Axial view; Brain; Image size 240x240
FLAIR MR.
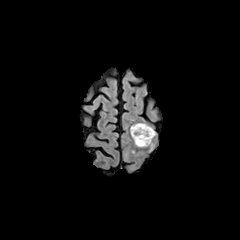
T1-weighted MR image.
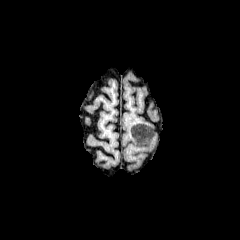
Post-contrast T1-weighted magnetic resonance.
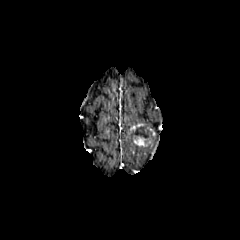
T2-weighted magnetic resonance.
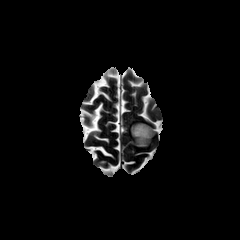
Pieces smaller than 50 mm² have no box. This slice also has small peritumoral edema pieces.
enhancing_tumor:
  - bbox=[133, 133, 152, 146]
  - bbox=[130, 123, 155, 136]
necrotic_tumor_core:
  - bbox=[132, 126, 151, 138]